Slice 76 of 155 | Axial plane
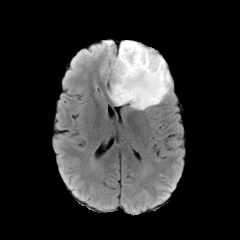
FLAIR MRI.
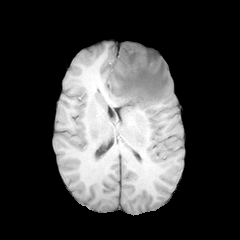
T1-weighted magnetic resonance.
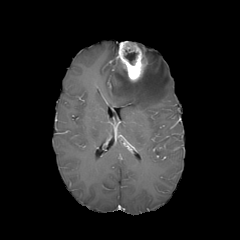
Post-contrast T1-weighted magnetic resonance of the same slice.
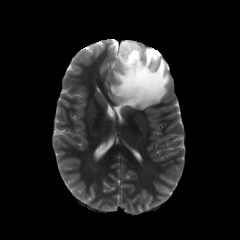
T2-weighted magnetic resonance.
peritumoral edema: bounding box <box>108,44,171,109</box>
enhancing tumor: bounding box <box>116,41,147,81</box>
necrotic tumor core: bounding box <box>125,50,137,64</box>